FLAIR magnetic resonance.
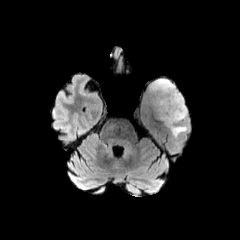
T1-weighted MRI.
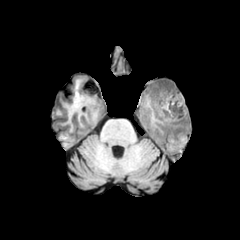
Post-contrast T1-weighted MRI.
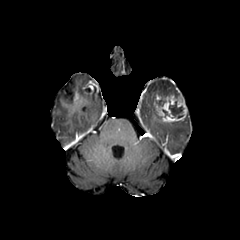
T2-weighted MR image.
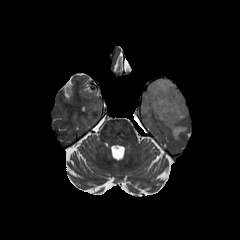
240x240
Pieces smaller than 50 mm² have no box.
enhancing tumor: rect(153, 93, 187, 122)
peritumoral edema: rect(149, 79, 180, 106); rect(165, 122, 187, 139)
necrotic tumor core: rect(169, 101, 183, 118)